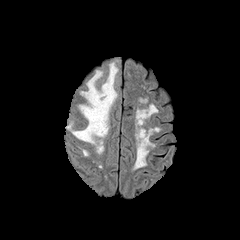
FLAIR MR.
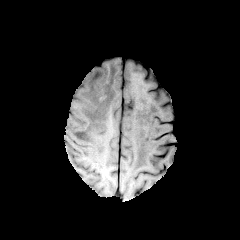
T1-weighted MR image of the same slice.
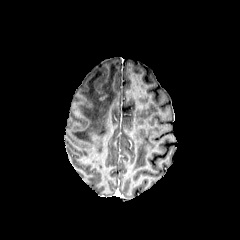
Post-contrast T1-weighted magnetic resonance.
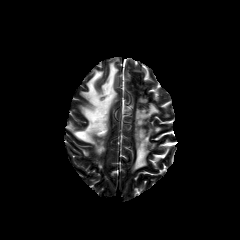
T2-weighted magnetic resonance of the same slice.
Axial plane, 240x240 px
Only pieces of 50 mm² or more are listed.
Findings:
• peritumoral edema: box(66, 62, 118, 153)